Slice index 108. Image covers 240 mm x 240 mm. 240x240.
FLAIR MRI.
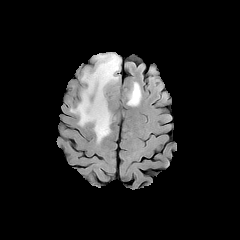
T1-weighted MR.
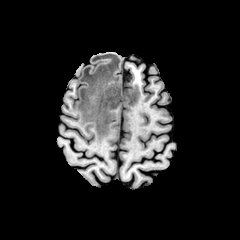
Post-contrast T1-weighted MR.
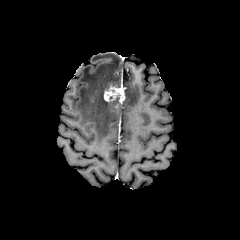
T2-weighted MR image.
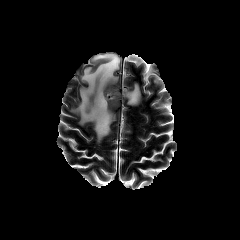
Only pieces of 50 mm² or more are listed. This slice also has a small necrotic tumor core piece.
<segmentation>
  <peritumoral_edema>(70,53,121,142), (125,82,141,106)</peritumoral_edema>
  <enhancing_tumor>(104,85,125,102)</enhancing_tumor>
</segmentation>